FLAIR magnetic resonance.
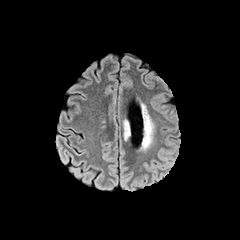
T1-weighted MR image.
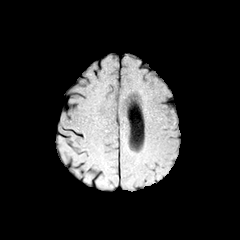
Post-contrast T1-weighted MRI.
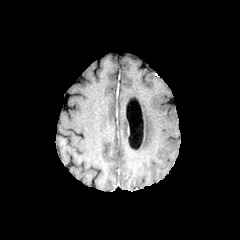
T2-weighted MRI.
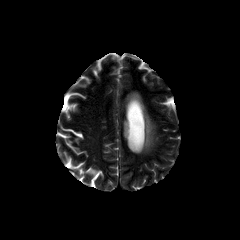
Head | 240x240
2 peritumoral edema regions are bounded by (123, 119, 130, 140), (141, 104, 154, 150).